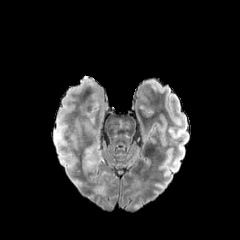
FLAIR magnetic resonance.
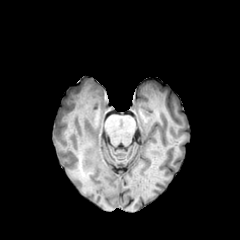
T1-weighted MR.
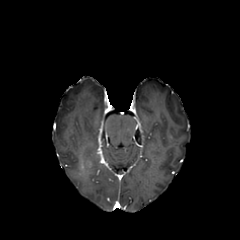
Post-contrast T1-weighted MRI.
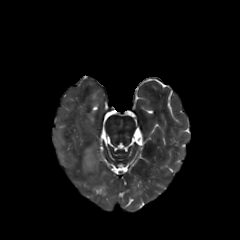
T2-weighted magnetic resonance.
240x240
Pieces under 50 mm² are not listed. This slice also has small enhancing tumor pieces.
peritumoral edema: 83 147 103 169